FLAIR magnetic resonance.
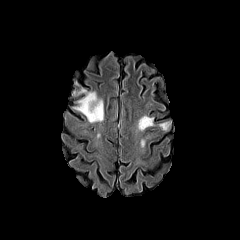
T1-weighted MRI.
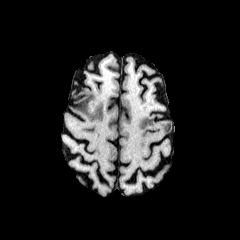
Post-contrast T1-weighted MR image.
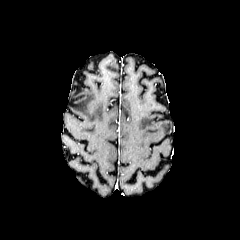
T2-weighted magnetic resonance.
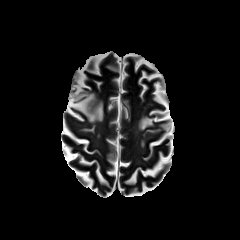
Axial plane; 240x240 px
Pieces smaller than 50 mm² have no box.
peritumoral_edema:
  - box=[159, 120, 171, 131]
  - box=[137, 114, 154, 131]
  - box=[72, 86, 103, 122]